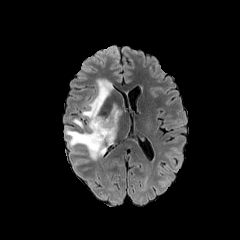
FLAIR MR image.
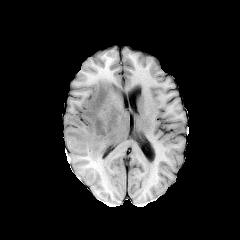
Same slice, T1-weighted MR.
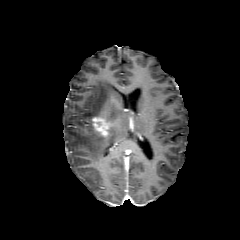
Post-contrast T1-weighted MR.
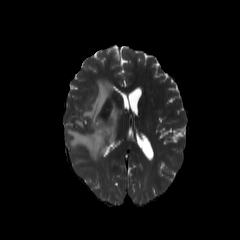
T2-weighted magnetic resonance of the same slice.
Head
{
  "peritumoral_edema": [
    "(65,79,120,160)",
    "(74,159,87,163)",
    "(72,118,83,128)"
  ],
  "enhancing_tumor": [
    "(92,116,117,137)"
  ]
}